FLAIR MR.
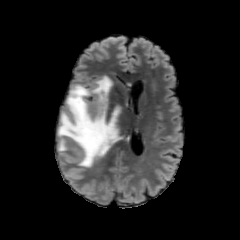
T1-weighted magnetic resonance.
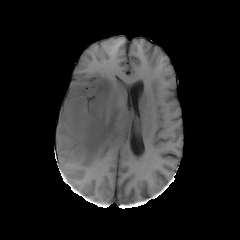
Post-contrast T1-weighted magnetic resonance.
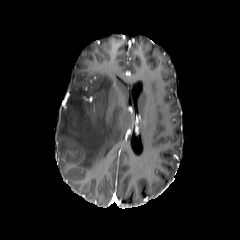
T2-weighted MRI.
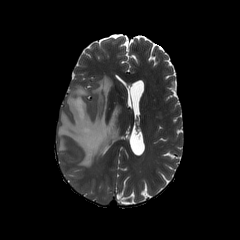
Axial plane | Brain
peritumoral edema at bbox=[58, 76, 121, 167]